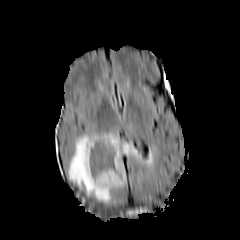
FLAIR MRI.
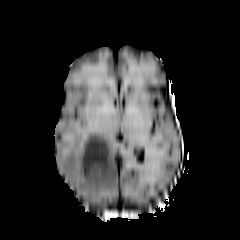
Same slice, T1-weighted MR.
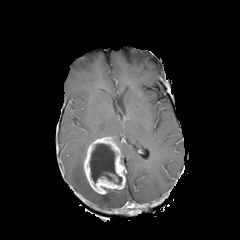
Same slice, post-contrast T1-weighted MR image.
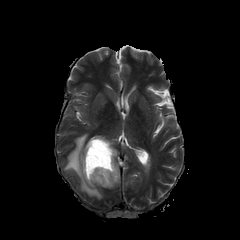
T2-weighted MR image.
Axial view
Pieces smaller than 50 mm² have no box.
Segmented structures:
* peritumoral edema: 67:133:139:202
* enhancing tumor: 83:137:125:194
* necrotic tumor core: 89:143:122:184